Image size 240x240. Slice 40 of 155. Brain.
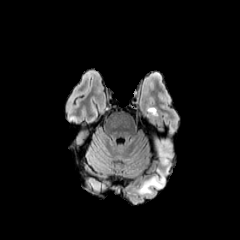
FLAIR MRI.
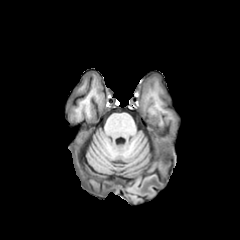
T1-weighted MRI.
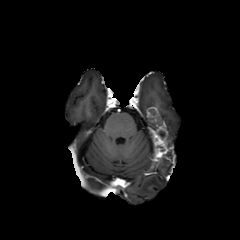
Post-contrast T1-weighted MR image.
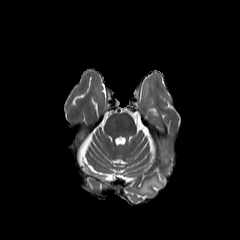
Same slice, T2-weighted MRI.
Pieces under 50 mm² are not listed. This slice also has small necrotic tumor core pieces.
peritumoral edema = x1=138 y1=158 x2=171 y2=194
enhancing tumor = x1=145 y1=107 x2=164 y2=131, x1=152 y1=131 x2=174 y2=161